Slice 48/155, 240x240
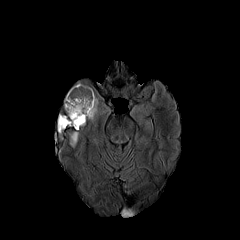
FLAIR MRI.
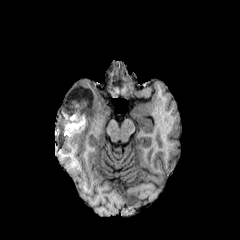
T1-weighted magnetic resonance.
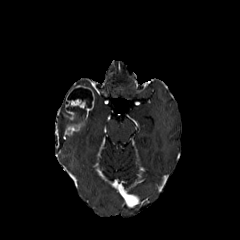
Same slice, post-contrast T1-weighted magnetic resonance.
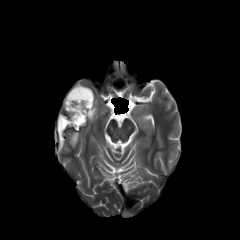
T2-weighted magnetic resonance.
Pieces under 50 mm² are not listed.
enhancing tumor: rect(65, 85, 94, 134) | peritumoral edema: rect(88, 98, 98, 121); rect(69, 132, 79, 147) | necrotic tumor core: rect(58, 87, 92, 134)